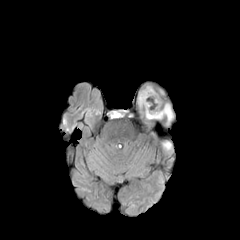
FLAIR magnetic resonance.
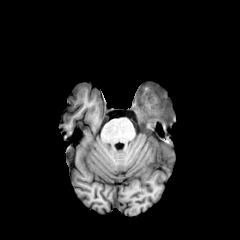
T1-weighted MRI.
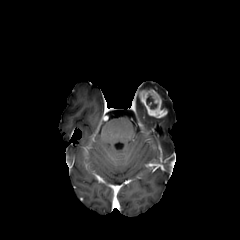
Post-contrast T1-weighted magnetic resonance of the same slice.
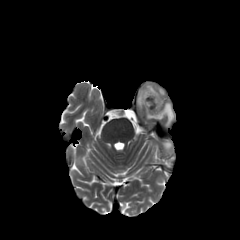
T2-weighted MR image.
Brain.
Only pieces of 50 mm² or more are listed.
{"enhancing_tumor": ["139,89,167,118"], "peritumoral_edema": ["165,103,173,122", "163,142,171,149"], "necrotic_tumor_core": ["146,95,157,109"]}